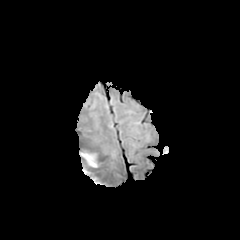
FLAIR MRI.
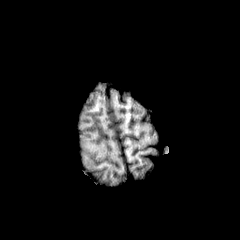
T1-weighted MR image of the same slice.
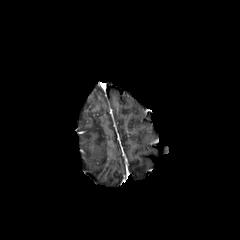
Post-contrast T1-weighted MR.
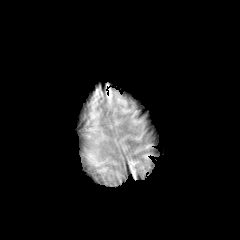
T2-weighted magnetic resonance.
Image size 240x240 | Axial slice
peritumoral edema — 82 152 95 165